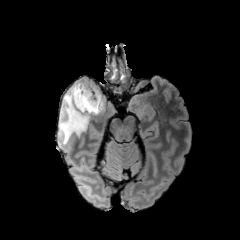
FLAIR magnetic resonance.
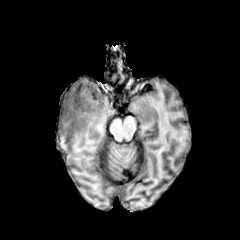
T1-weighted magnetic resonance of the same slice.
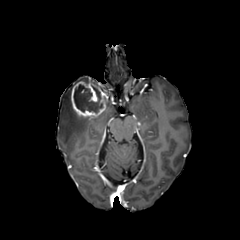
Same slice, post-contrast T1-weighted MRI.
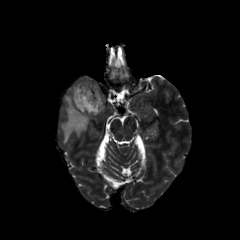
T2-weighted MRI of the same slice.
Brain
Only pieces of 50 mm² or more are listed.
enhancing tumor: bounding box x1=70, y1=81, x2=106, y2=119
necrotic tumor core: bounding box x1=74, y1=84, x2=102, y2=112
peritumoral edema: bounding box x1=59, y1=86, x2=89, y2=142